FLAIR MR.
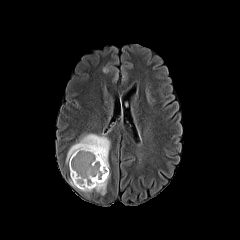
T1-weighted MRI.
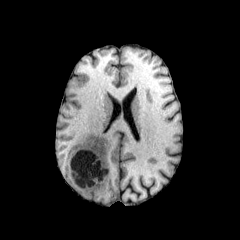
Post-contrast T1-weighted magnetic resonance.
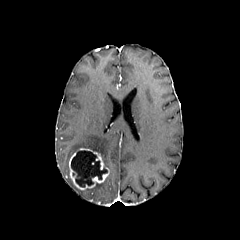
T2-weighted MR.
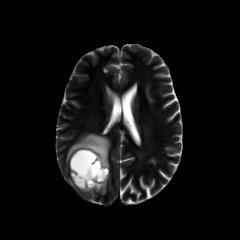
240x240 px
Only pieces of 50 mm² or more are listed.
* necrotic tumor core: 71,150,107,187
* peritumoral edema: 66,133,110,169; 80,174,110,194
* enhancing tumor: 69,148,109,189